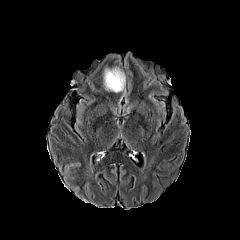
FLAIR MR.
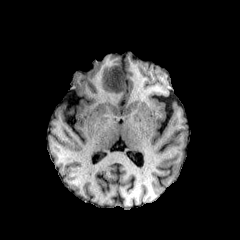
T1-weighted magnetic resonance.
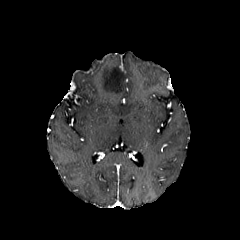
Post-contrast T1-weighted MRI.
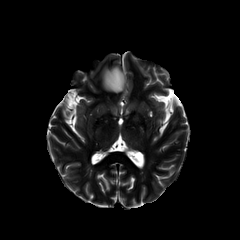
Same slice, T2-weighted magnetic resonance.
Brain | Axial plane
peritumoral_edema:
  - l=103, t=67, r=125, b=92